Slice 65 of 155. 240x240 px. Brain. Axial slice. Image width 240 mm, 1.00 mm slice spacing.
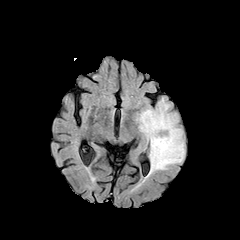
FLAIR MR.
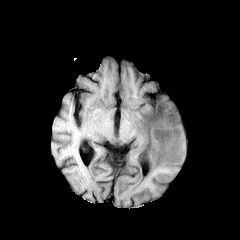
Same slice, T1-weighted MRI.
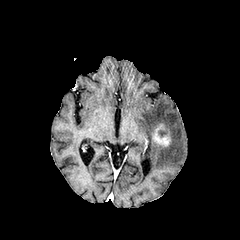
Post-contrast T1-weighted MRI.
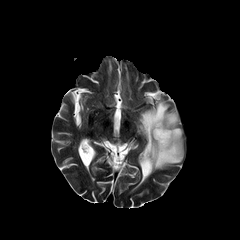
T2-weighted MR.
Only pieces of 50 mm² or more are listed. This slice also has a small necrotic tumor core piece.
peritumoral edema: bbox(136, 98, 184, 178) | enhancing tumor: bbox(152, 123, 170, 147)